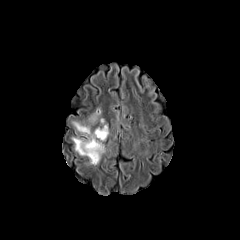
FLAIR MR.
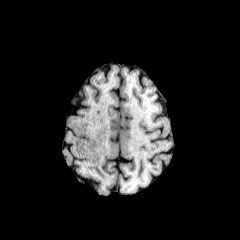
Same slice, T1-weighted MR.
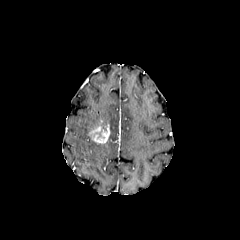
Same slice, post-contrast T1-weighted MR image.
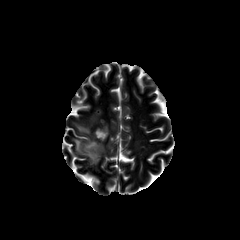
Same slice, T2-weighted MR.
Head, 240x240
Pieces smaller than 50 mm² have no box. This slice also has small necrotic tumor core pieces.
peritumoral edema = [x1=72, y1=121, x2=105, y2=165], [x1=89, y1=108, x2=101, y2=123]
enhancing tumor = [x1=88, y1=125, x2=110, y2=143]